240x240, Axial slice, Image covers 240 mm x 240 mm, Slice index 69
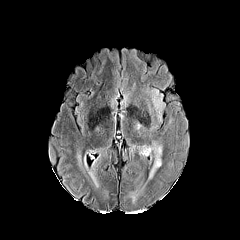
FLAIR magnetic resonance.
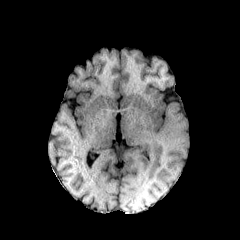
Same slice, T1-weighted MRI.
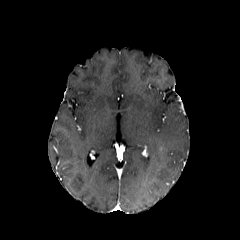
Post-contrast T1-weighted MR.
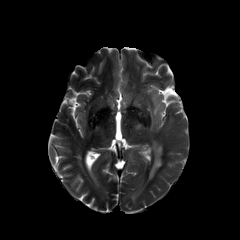
T2-weighted MRI of the same slice.
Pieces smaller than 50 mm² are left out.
The 2 largest peritumoral edema regions appear at (147, 142, 162, 180), (156, 106, 162, 121).